FLAIR MRI.
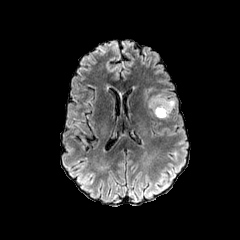
T1-weighted MRI.
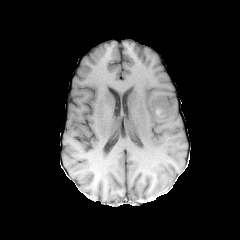
Post-contrast T1-weighted MRI.
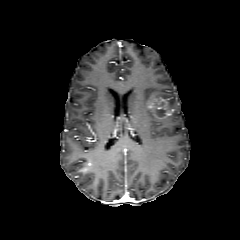
T2-weighted magnetic resonance.
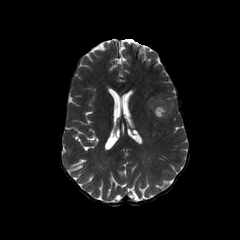
Brain. Axial slice.
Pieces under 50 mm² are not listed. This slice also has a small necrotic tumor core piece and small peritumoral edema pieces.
The enhancing tumor is located at (147, 95, 173, 118).